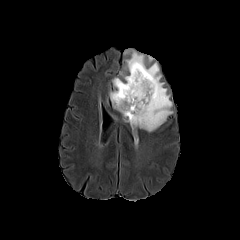
FLAIR MR image.
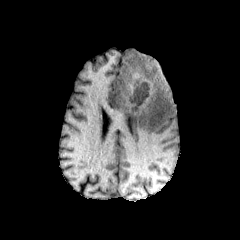
T1-weighted magnetic resonance.
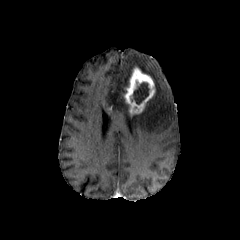
Post-contrast T1-weighted MRI.
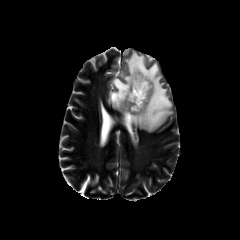
T2-weighted MR of the same slice.
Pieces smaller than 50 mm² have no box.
The enhancing tumor lies within x1=123, y1=66, x2=155, y2=115. The necrotic tumor core is located at x1=133, y1=83, x2=148, y2=104. The largest peritumoral edema region is located at x1=109, y1=50, x2=173, y2=132.